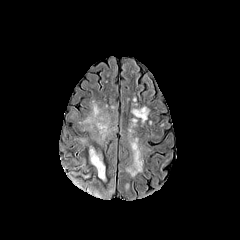
FLAIR MR.
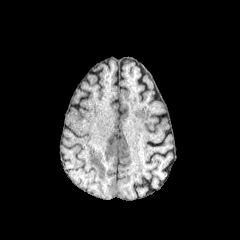
T1-weighted MR image.
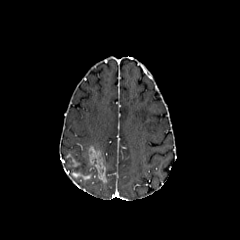
Same slice, post-contrast T1-weighted MR.
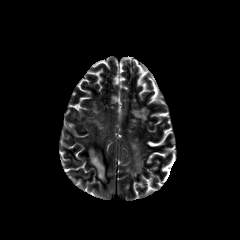
T2-weighted magnetic resonance of the same slice.
Head.
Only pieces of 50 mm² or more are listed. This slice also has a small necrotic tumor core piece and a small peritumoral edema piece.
enhancing_tumor:
  - (left=89, top=147, right=106, bottom=183)
  - (left=66, top=156, right=82, bottom=166)